Image width 240 mm, 1.00 mm slice spacing; Slice index 89; Brain; Image size 240x240
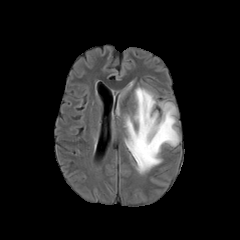
FLAIR magnetic resonance.
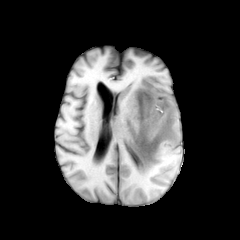
T1-weighted magnetic resonance of the same slice.
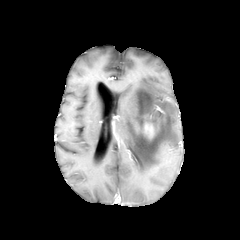
Same slice, post-contrast T1-weighted MR.
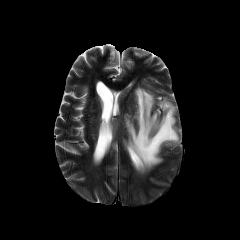
Same slice, T2-weighted magnetic resonance.
Segmented structures:
• enhancing tumor: x1=142, y1=122, x2=153, y2=137
• peritumoral edema: x1=124, y1=87, x2=179, y2=173